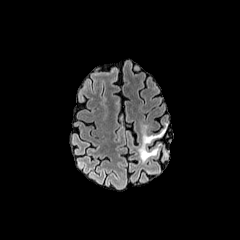
FLAIR MRI.
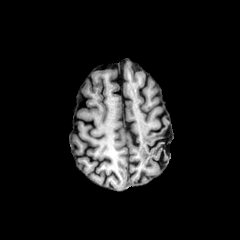
T1-weighted magnetic resonance.
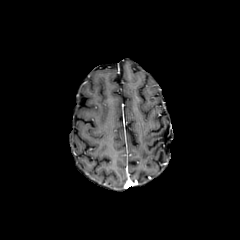
Post-contrast T1-weighted MRI.
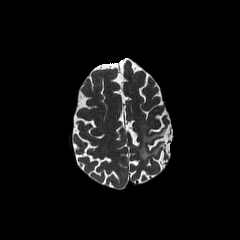
T2-weighted magnetic resonance of the same slice.
240x240 px
Annotated regions:
* peritumoral edema: bbox=[139, 126, 165, 161]